Image size 240x240; Slice 99/155; Axial slice
FLAIR MR image.
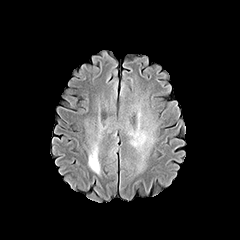
T1-weighted MRI.
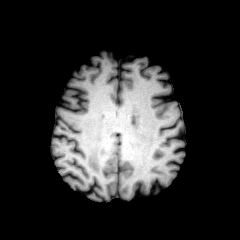
Post-contrast T1-weighted MR image.
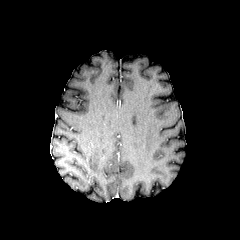
T2-weighted magnetic resonance.
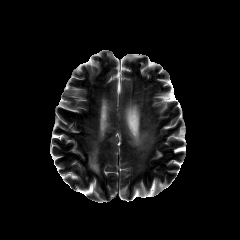
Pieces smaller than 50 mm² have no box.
The largest peritumoral edema region is bounded by 88, 144, 99, 173.